FLAIR MR.
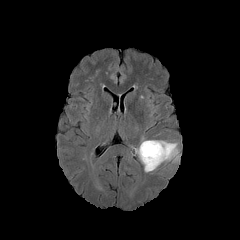
T1-weighted MR.
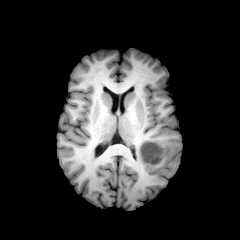
Post-contrast T1-weighted MRI.
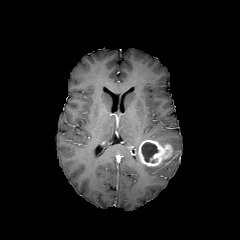
T2-weighted MR.
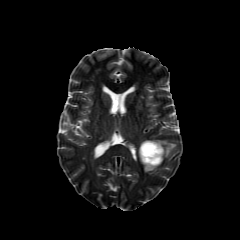
Head
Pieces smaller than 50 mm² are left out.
necrotic tumor core = left=141, top=142, right=158, bottom=162
peritumoral edema = left=154, top=140, right=179, bottom=162; left=144, top=165, right=158, bottom=172
enhancing tumor = left=138, top=140, right=173, bottom=166